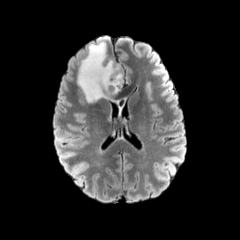
FLAIR MRI.
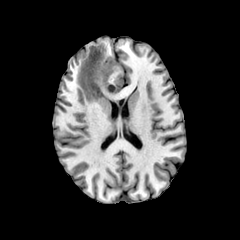
T1-weighted MR image.
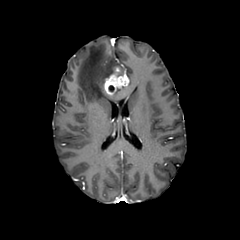
Post-contrast T1-weighted MRI.
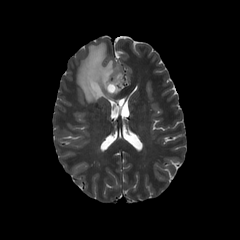
T2-weighted MR image of the same slice.
Axial view
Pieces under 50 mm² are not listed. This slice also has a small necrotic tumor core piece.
The largest peritumoral edema region is bounded by left=77, top=37, right=118, bottom=102. The enhancing tumor is located at left=104, top=67, right=129, bottom=95.